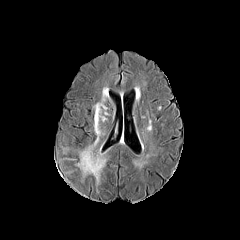
FLAIR MR.
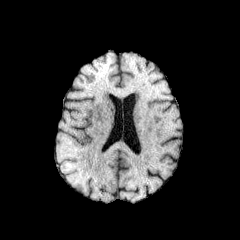
T1-weighted MR.
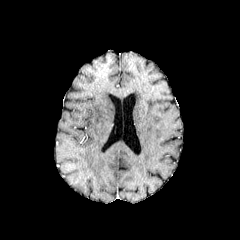
Post-contrast T1-weighted magnetic resonance of the same slice.
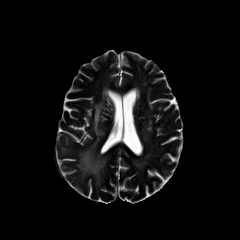
Same slice, T2-weighted magnetic resonance.
240x240, Axial slice, Brain
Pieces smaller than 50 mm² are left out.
The largest peritumoral edema region is located at left=78, top=99, right=106, bottom=183.